Axial view, Slice 79/155
FLAIR MR.
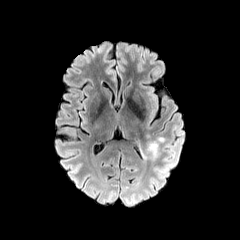
T1-weighted MRI.
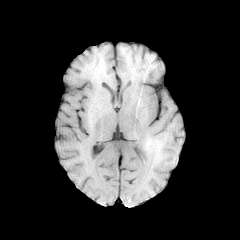
Post-contrast T1-weighted magnetic resonance.
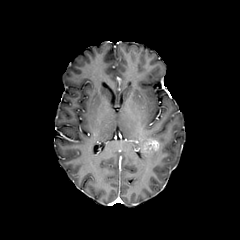
T2-weighted MR image.
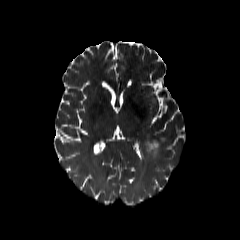
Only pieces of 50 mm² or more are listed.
peritumoral_edema:
  - (x1=143, y1=150, x2=158, y2=159)
enhancing_tumor:
  - (x1=141, y1=139, x2=159, y2=153)